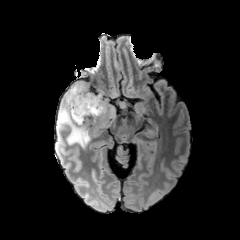
FLAIR MR.
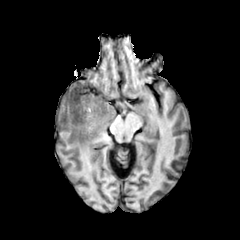
T1-weighted MR image.
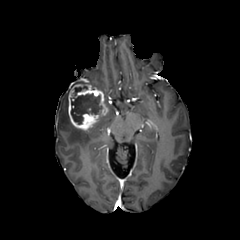
Post-contrast T1-weighted MR image of the same slice.
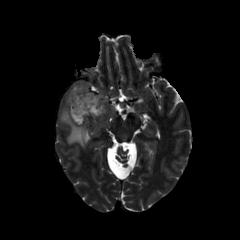
T2-weighted MR.
Brain | Axial view
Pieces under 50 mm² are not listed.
{"necrotic_tumor_core": ["l=74, t=86, r=87, b=95", "l=71, t=93, r=102, b=124"], "enhancing_tumor": ["l=68, t=81, r=109, b=130"], "peritumoral_edema": ["l=59, t=81, r=89, b=147"]}